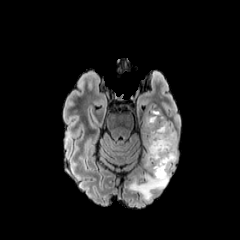
FLAIR MR.
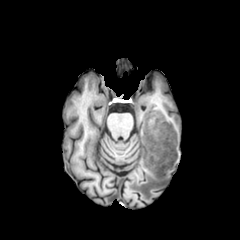
T1-weighted MR image.
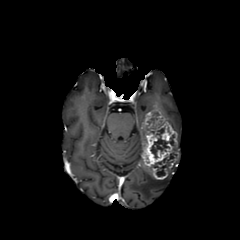
Post-contrast T1-weighted magnetic resonance.
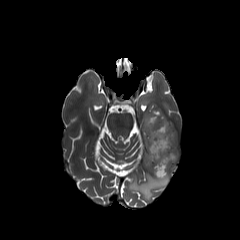
Same slice, T2-weighted MRI.
Head
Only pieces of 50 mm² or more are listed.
peritumoral_edema:
  - <bbox>129, 161, 176, 200</bbox>
necrotic_tumor_core:
  - <bbox>150, 128, 174, 158</bbox>
  - <bbox>152, 153, 176, 176</bbox>
  - <bbox>148, 117, 157, 133</bbox>
enhancing_tumor:
  - <bbox>140, 109, 178, 179</bbox>